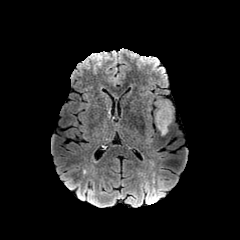
FLAIR MR.
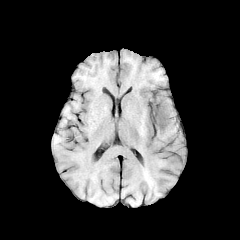
T1-weighted MR.
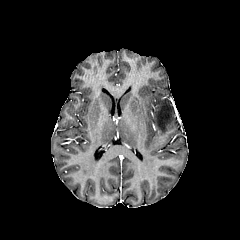
Post-contrast T1-weighted magnetic resonance.
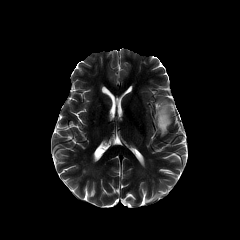
T2-weighted magnetic resonance of the same slice.
Axial slice
The peritumoral edema is located at [155, 100, 173, 135].